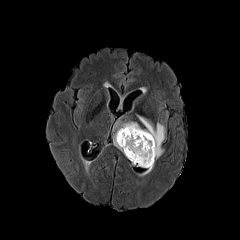
FLAIR MR.
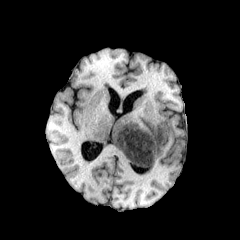
T1-weighted MR image.
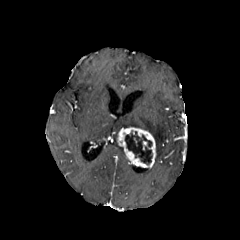
Same slice, post-contrast T1-weighted MRI.
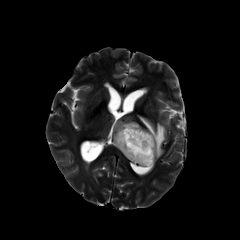
Same slice, T2-weighted magnetic resonance.
Axial view | Head
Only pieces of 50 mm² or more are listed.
<segmentation>
  <enhancing_tumor>bbox=[117, 127, 156, 168]</enhancing_tumor>
  <peritumoral_edema>bbox=[138, 116, 165, 160]; bbox=[113, 121, 140, 152]</peritumoral_edema>
  <necrotic_tumor_core>bbox=[125, 131, 152, 164]</necrotic_tumor_core>
</segmentation>